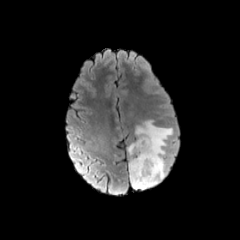
FLAIR MR image.
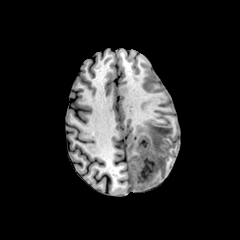
T1-weighted magnetic resonance.
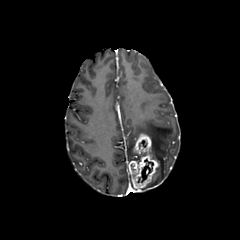
Post-contrast T1-weighted MRI.
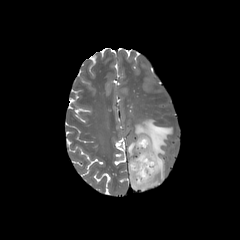
T2-weighted magnetic resonance.
Image size 240x240; Axial plane
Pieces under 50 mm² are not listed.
peritumoral edema = region(128, 142, 136, 156); region(135, 120, 172, 189)
enhancing tumor = region(128, 133, 159, 188)
necrotic tumor core = region(137, 159, 153, 182)